FLAIR MRI.
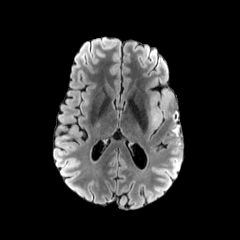
T1-weighted magnetic resonance.
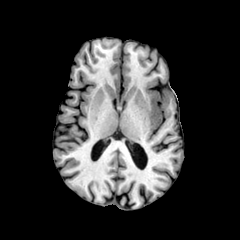
Post-contrast T1-weighted MRI.
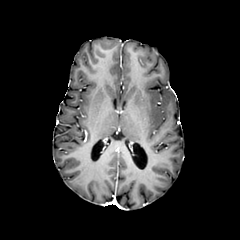
T2-weighted magnetic resonance.
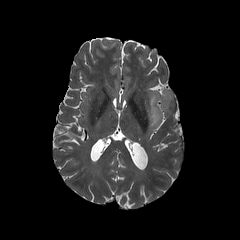
Brain.
The peritumoral edema is bounded by [149,90,172,129].